Slice 76/155
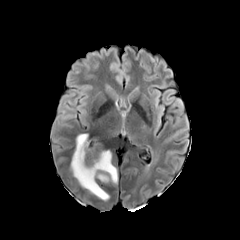
FLAIR MR.
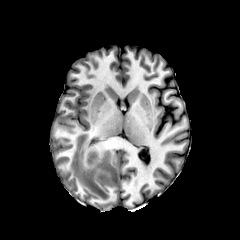
T1-weighted MR of the same slice.
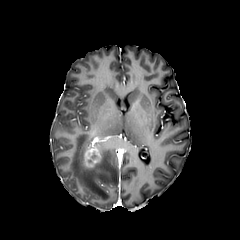
Same slice, post-contrast T1-weighted MRI.
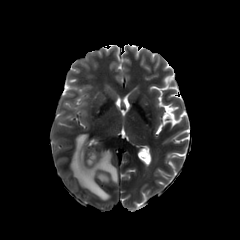
T2-weighted MRI.
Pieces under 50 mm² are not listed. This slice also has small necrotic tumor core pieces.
Annotated regions:
* peritumoral edema: (x1=71, y1=134, x2=117, y2=200)
* enhancing tumor: (x1=85, y1=148, x2=101, y2=167)